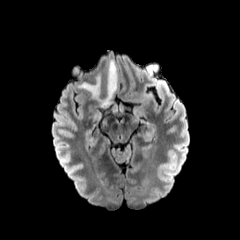
FLAIR MR image.
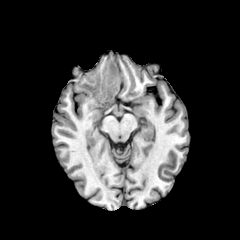
Same slice, T1-weighted MR image.
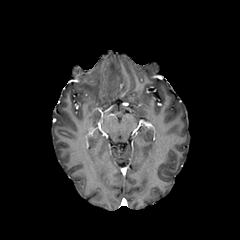
Post-contrast T1-weighted MR image.
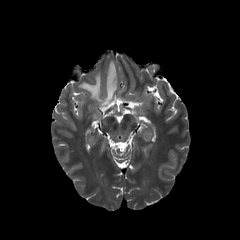
T2-weighted magnetic resonance of the same slice.
Axial view; Brain
peritumoral_edema:
  - <box>78,60,117,105</box>